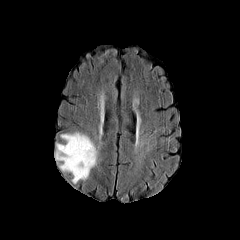
FLAIR magnetic resonance.
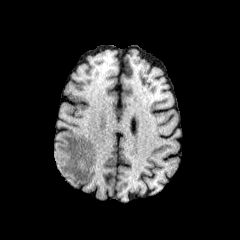
Same slice, T1-weighted MR.
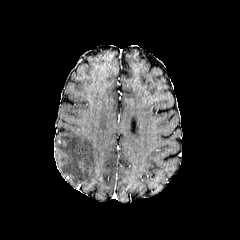
Post-contrast T1-weighted MRI.
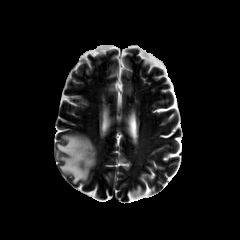
T2-weighted MR.
Brain, Image size 240x240
The peritumoral edema is located at box(55, 132, 97, 183).